Slice 73 of 155
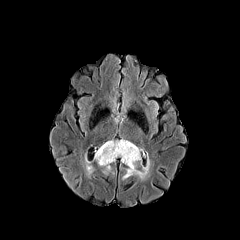
FLAIR MR.
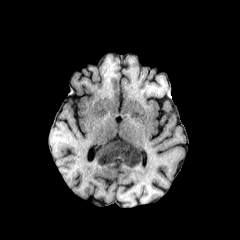
T1-weighted magnetic resonance of the same slice.
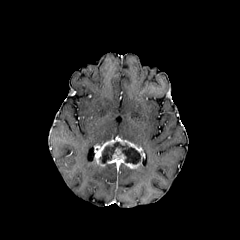
Post-contrast T1-weighted MR.
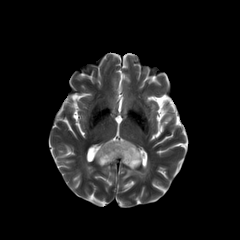
T2-weighted MR image.
The enhancing tumor appears at <bbox>94, 138, 142, 168</bbox>. The necrotic tumor core lies within <bbox>100, 142, 140, 164</bbox>. 3 peritumoral edema regions are located at <bbox>122, 162, 149, 179</bbox>, <bbox>103, 164, 110, 173</bbox>, <bbox>86, 160, 92, 173</bbox>.